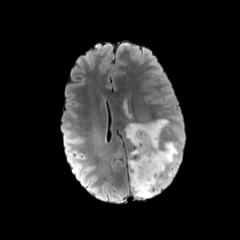
FLAIR MR image.
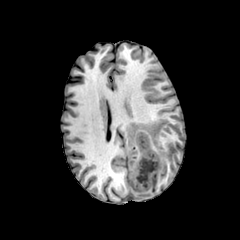
T1-weighted MRI.
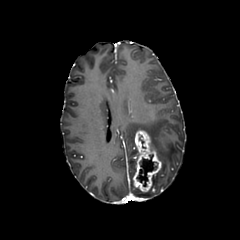
Same slice, post-contrast T1-weighted MR image.
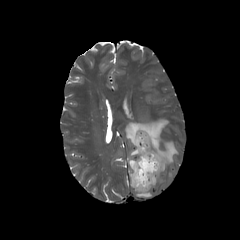
T2-weighted MR.
Axial plane; Head
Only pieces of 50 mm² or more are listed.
Segmented structures:
- peritumoral edema: left=126, top=119, right=177, bottom=197
- enhancing tumor: left=133, top=130, right=161, bottom=191
- necrotic tumor core: left=136, top=154, right=157, bottom=186